Image width 240 mm, 1.00 mm slice spacing | Image size 240x240 | Brain
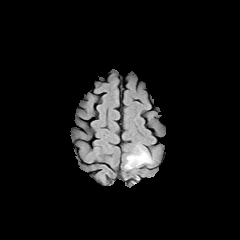
FLAIR magnetic resonance.
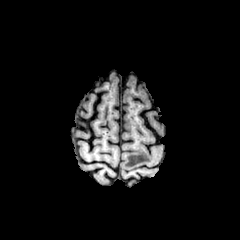
T1-weighted MR.
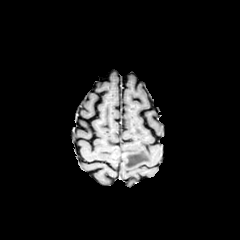
Same slice, post-contrast T1-weighted MRI.
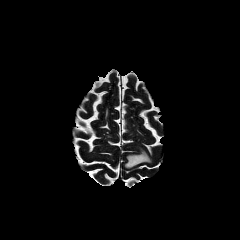
Same slice, T2-weighted magnetic resonance.
The peritumoral edema is at (x1=125, y1=145, x2=152, y2=168).